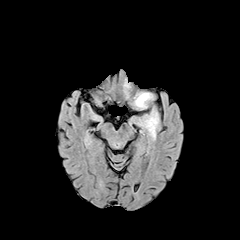
FLAIR MRI.
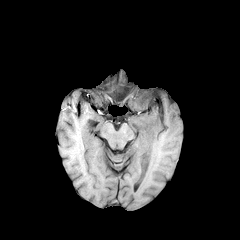
T1-weighted MR.
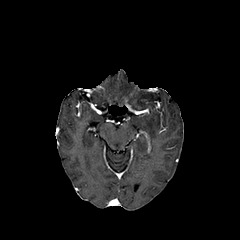
Post-contrast T1-weighted MRI.
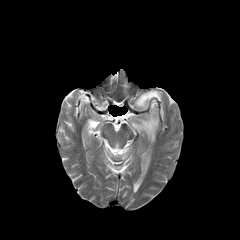
T2-weighted MR.
Head
2 peritumoral edema regions appear at rect(135, 93, 152, 107); rect(140, 114, 158, 139).